240x240 px
FLAIR MRI.
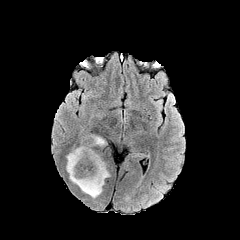
T1-weighted magnetic resonance.
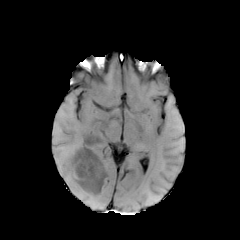
Post-contrast T1-weighted MRI.
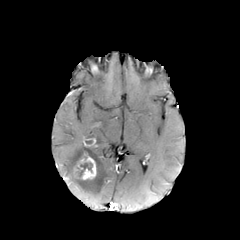
T2-weighted magnetic resonance.
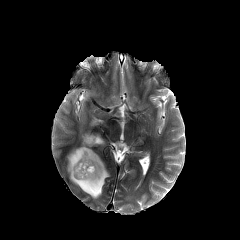
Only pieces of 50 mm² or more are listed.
Findings:
• necrotic tumor core: region(74, 163, 92, 177)
• enhancing tumor: region(83, 135, 96, 146); region(75, 151, 96, 179)
• peritumoral edema: region(66, 136, 110, 198); region(95, 135, 106, 146)